Slice index 47 | Axial plane | Image covers 240 mm x 240 mm
FLAIR MR image.
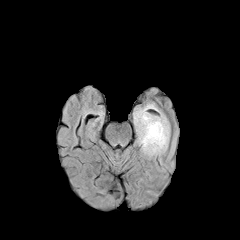
T1-weighted MR.
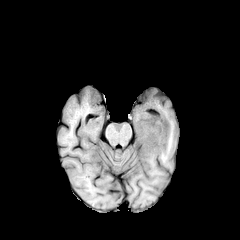
Post-contrast T1-weighted MR.
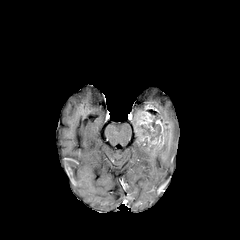
T2-weighted MR.
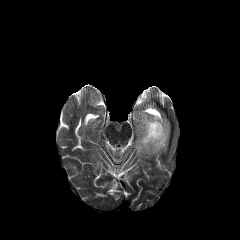
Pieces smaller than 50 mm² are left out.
peritumoral_edema:
  - bbox(133, 106, 144, 130)
  - bbox(145, 102, 167, 120)
  - bbox(136, 125, 170, 157)
enhancing_tumor:
  - bbox(136, 104, 169, 151)
necrotic_tumor_core:
  - bbox(150, 117, 160, 140)
  - bbox(136, 125, 151, 135)